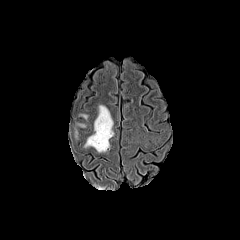
FLAIR magnetic resonance.
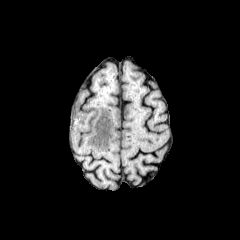
T1-weighted magnetic resonance.
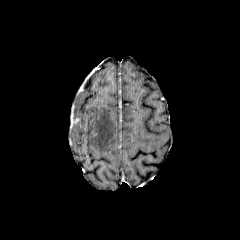
Post-contrast T1-weighted magnetic resonance.
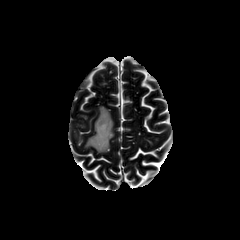
T2-weighted MR image.
Image size 240x240
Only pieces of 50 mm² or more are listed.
peritumoral edema: bounding box [85, 105, 113, 152]